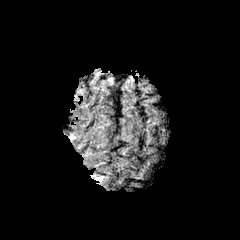
FLAIR MR.
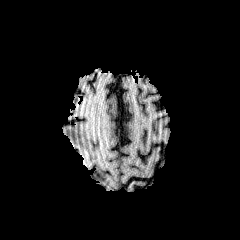
T1-weighted magnetic resonance.
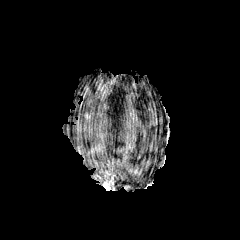
Post-contrast T1-weighted MRI.
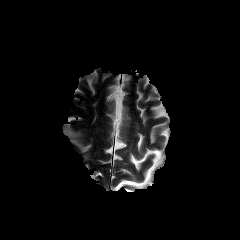
T2-weighted magnetic resonance.
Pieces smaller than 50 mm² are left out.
The 2 largest peritumoral edema regions appear at (x1=91, y1=174, x2=106, y2=183), (x1=69, y1=133, x2=79, y2=140).